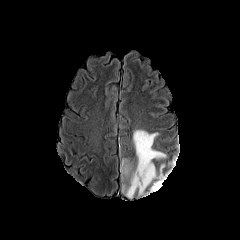
FLAIR MRI.
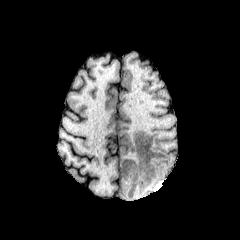
Same slice, T1-weighted magnetic resonance.
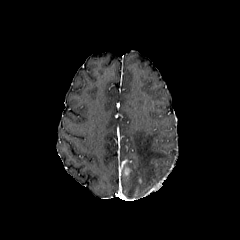
Same slice, post-contrast T1-weighted MR.
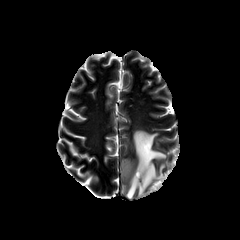
T2-weighted MR of the same slice.
Axial plane.
peritumoral edema: [x1=126, y1=130, x2=166, y2=197] | enhancing tumor: [x1=120, y1=161, x2=130, y2=176]